Axial plane; Slice index 86; Image width 240 mm
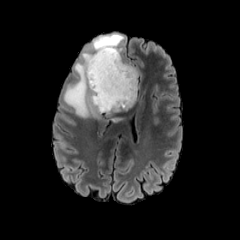
FLAIR MRI.
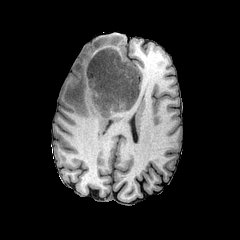
T1-weighted magnetic resonance.
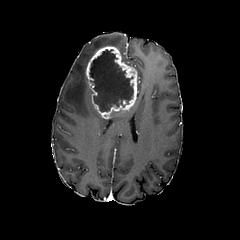
Same slice, post-contrast T1-weighted MRI.
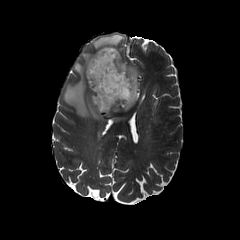
T2-weighted magnetic resonance.
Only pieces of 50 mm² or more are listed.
peritumoral edema: [105, 117, 123, 126], [92, 34, 124, 53], [64, 51, 104, 119] | enhancing tumor: [86, 46, 137, 117] | necrotic tumor core: [90, 48, 134, 112]